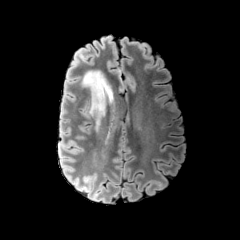
FLAIR MR image.
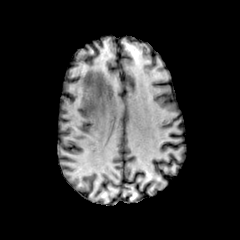
Same slice, T1-weighted MRI.
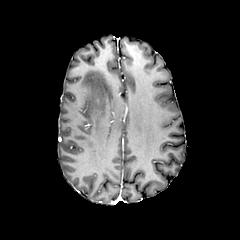
Same slice, post-contrast T1-weighted MR image.
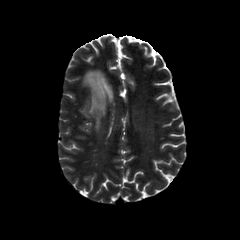
T2-weighted MR.
Axial view. Head.
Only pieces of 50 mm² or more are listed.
Findings:
- peritumoral edema: (left=81, top=70, right=113, bottom=127)
- enhancing tumor: (left=91, top=110, right=98, bottom=119)